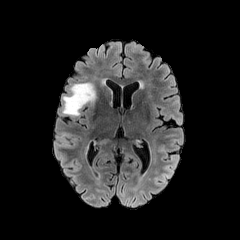
FLAIR MRI.
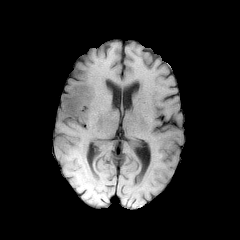
Same slice, T1-weighted magnetic resonance.
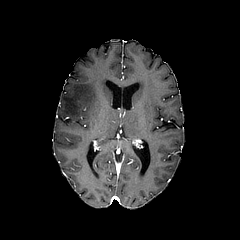
Post-contrast T1-weighted MRI of the same slice.
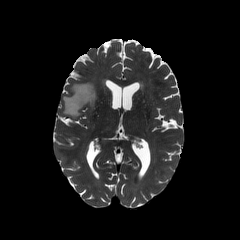
T2-weighted MR of the same slice.
Brain
peritumoral edema: [62,82,96,117]